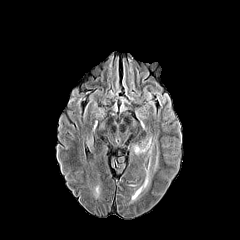
FLAIR MR.
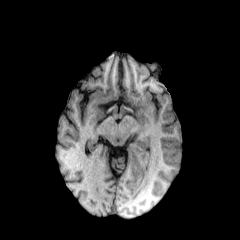
T1-weighted magnetic resonance.
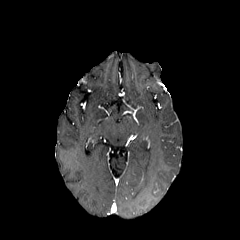
Post-contrast T1-weighted MR image.
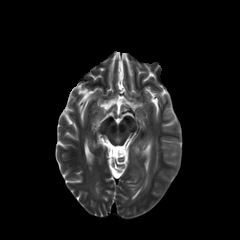
Same slice, T2-weighted MR.
Head; Axial view
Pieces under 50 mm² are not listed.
peritumoral edema: bounding box 132, 168, 149, 200